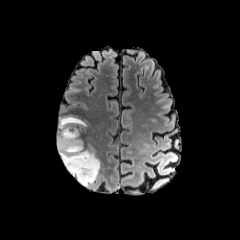
FLAIR MRI.
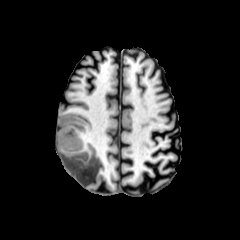
Same slice, T1-weighted MR image.
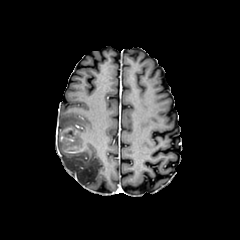
Same slice, post-contrast T1-weighted MRI.
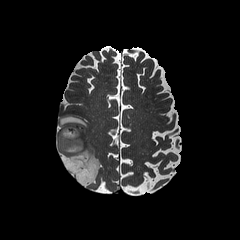
Same slice, T2-weighted MRI.
Axial slice
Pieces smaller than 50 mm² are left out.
peritumoral edema — (x1=59, y1=143, x2=100, y2=185), (x1=58, y1=114, x2=90, y2=136)
necrotic tumor core — (x1=69, y1=136, x2=81, y2=146)
enhancing tumor — (x1=59, y1=124, x2=86, y2=154)